FLAIR MR.
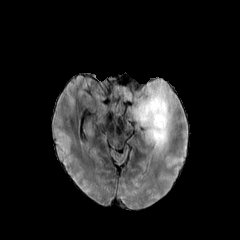
T1-weighted MRI.
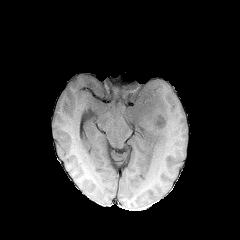
Post-contrast T1-weighted MR.
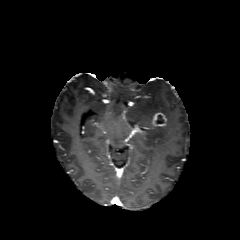
T2-weighted MR image.
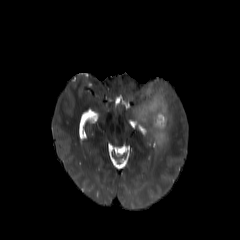
{
  "peritumoral_edema": [
    "[131, 82, 171, 149]"
  ],
  "necrotic_tumor_core": [
    "[156, 115, 164, 123]"
  ],
  "enhancing_tumor": [
    "[151, 112, 166, 128]"
  ]
}